FLAIR MRI.
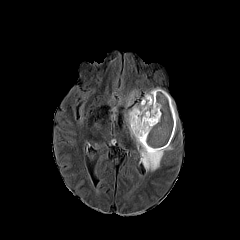
T1-weighted MR.
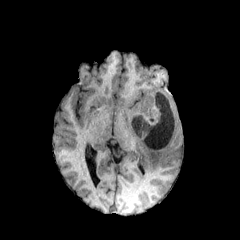
Post-contrast T1-weighted MR.
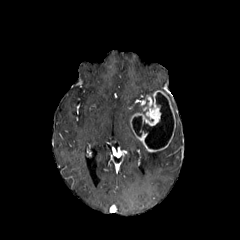
T2-weighted MR image.
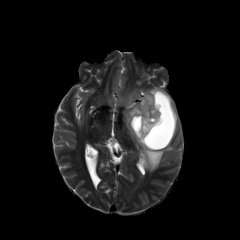
Head | Axial view | 240x240
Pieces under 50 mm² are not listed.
peritumoral edema: box=[125, 104, 173, 171]; box=[145, 88, 164, 96]; box=[127, 91, 137, 105]
necrotic tumor core: box=[132, 92, 173, 149]
enhancing tumor: box=[130, 90, 176, 152]